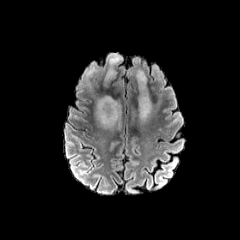
FLAIR MR.
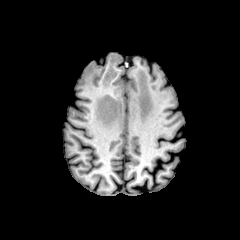
T1-weighted MRI of the same slice.
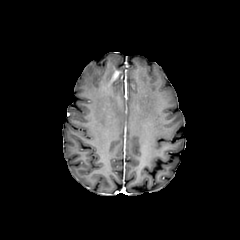
Post-contrast T1-weighted MR image.
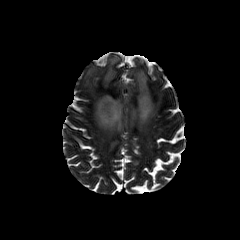
Same slice, T2-weighted MR image.
Brain, Axial view
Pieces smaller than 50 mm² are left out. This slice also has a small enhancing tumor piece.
peritumoral edema: <box>105,54,121,82</box>, <box>136,69,152,124</box>, <box>96,96,120,131</box>